FLAIR magnetic resonance.
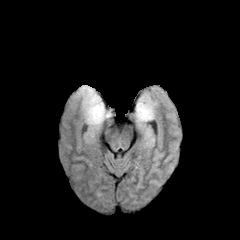
T1-weighted MRI.
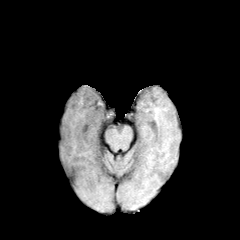
Post-contrast T1-weighted MR.
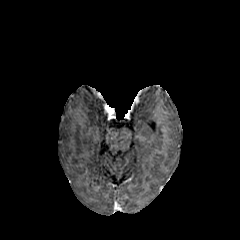
T2-weighted MR.
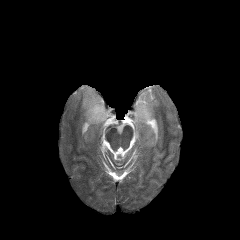
Axial slice | Head
peritumoral edema: bounding box 77, 85, 110, 137; 135, 95, 155, 141